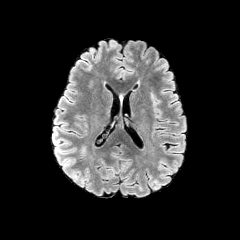
FLAIR MRI.
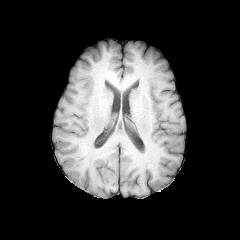
Same slice, T1-weighted magnetic resonance.
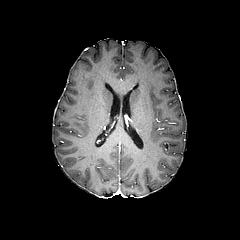
Post-contrast T1-weighted MR.
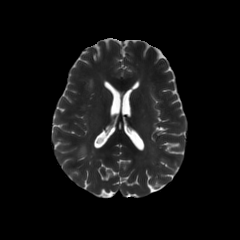
T2-weighted MRI.
240x240 px, Brain
The peritumoral edema appears at x1=80 y1=146 x2=85 y2=156.